Slice index 114. Head. Axial plane.
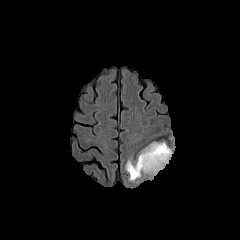
FLAIR MR.
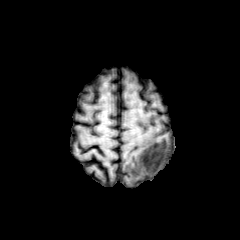
Same slice, T1-weighted MRI.
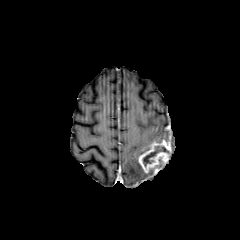
Post-contrast T1-weighted MR image.
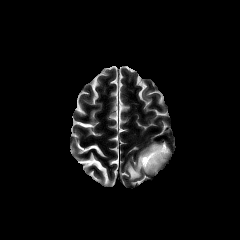
T2-weighted MR.
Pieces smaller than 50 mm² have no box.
necrotic tumor core — x1=143, y1=146, x2=168, y2=166
peritumoral edema — x1=125, y1=159, x2=145, y2=180
enhancing tumor — x1=138, y1=141, x2=171, y2=175